240x240 px
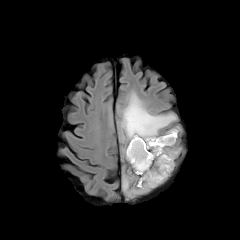
FLAIR MRI.
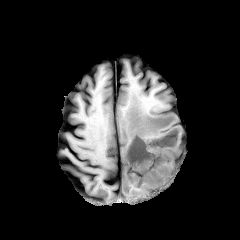
T1-weighted MR.
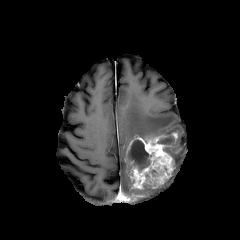
Post-contrast T1-weighted MRI of the same slice.
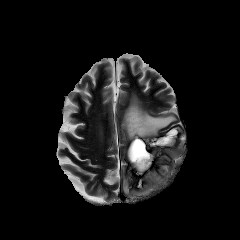
Same slice, T2-weighted MRI.
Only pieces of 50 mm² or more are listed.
Segmented structures:
* necrotic tumor core: left=128, top=140, right=150, bottom=170; left=158, top=137, right=173, bottom=144
* enhancing tumor: left=125, top=132, right=177, bottom=189
* peritumoral edema: left=165, top=127, right=179, bottom=134; left=122, top=170, right=152, bottom=197; left=164, top=147, right=179, bottom=158; left=121, top=94, right=176, bottom=141